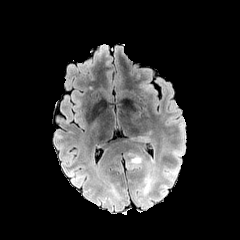
FLAIR magnetic resonance.
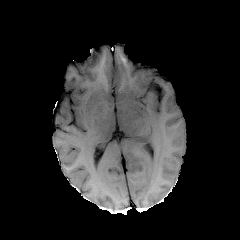
T1-weighted magnetic resonance of the same slice.
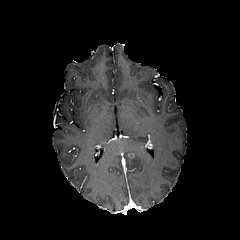
Post-contrast T1-weighted magnetic resonance.
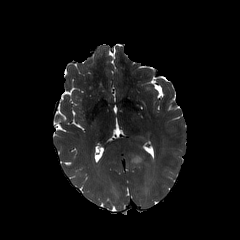
Same slice, T2-weighted MR image.
Head.
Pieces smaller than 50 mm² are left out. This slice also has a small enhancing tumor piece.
<segmentation>
  <peritumoral_edema>[x1=131, y1=156, x2=142, y2=164]</peritumoral_edema>
</segmentation>